FLAIR MRI.
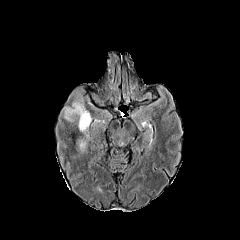
T1-weighted MRI.
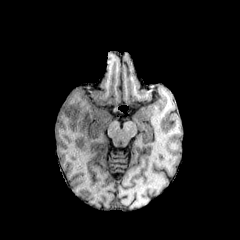
Post-contrast T1-weighted MRI.
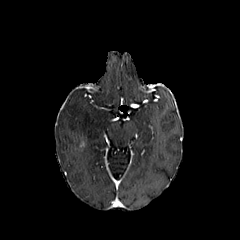
T2-weighted MR image.
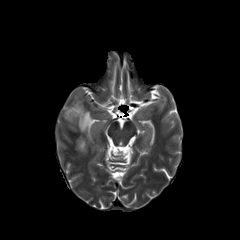
enhancing tumor at box=[79, 139, 85, 150]
peritumoral edema at box=[64, 102, 91, 152]